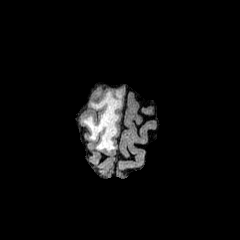
FLAIR magnetic resonance.
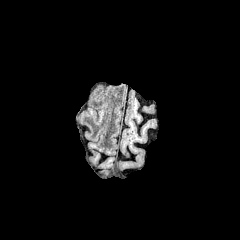
Same slice, T1-weighted MRI.
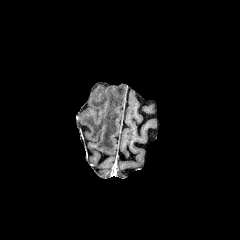
Post-contrast T1-weighted magnetic resonance.
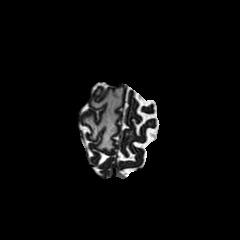
T2-weighted MRI of the same slice.
The peritumoral edema lies within <box>82,89,122,151</box>.